FLAIR MR image.
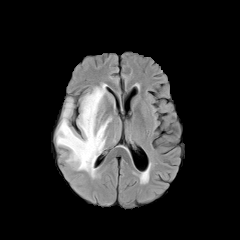
T1-weighted magnetic resonance.
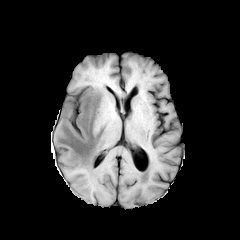
Post-contrast T1-weighted magnetic resonance.
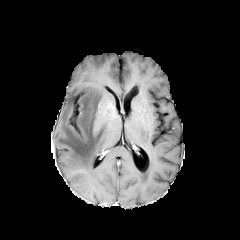
T2-weighted MRI.
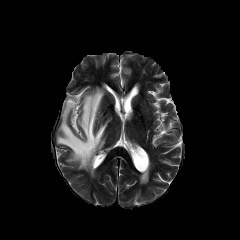
peritumoral edema: bounding box <box>56,84,111,177</box>